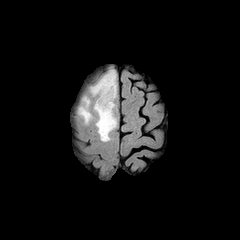
FLAIR MR image.
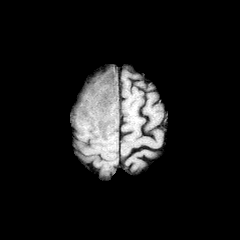
T1-weighted MR.
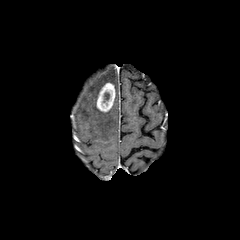
Post-contrast T1-weighted MR image of the same slice.
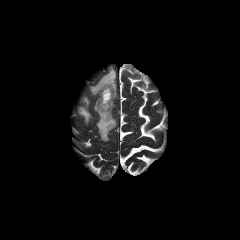
Same slice, T2-weighted magnetic resonance.
Axial slice, Brain, Image size 240x240
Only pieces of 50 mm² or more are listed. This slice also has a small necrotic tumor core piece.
peritumoral edema: bbox(94, 102, 116, 141); bbox(90, 69, 116, 96); bbox(78, 97, 92, 123)
enhancing tumor: bbox(96, 82, 115, 112)